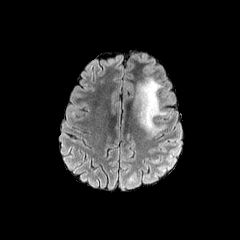
FLAIR MR image.
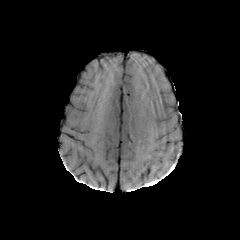
T1-weighted magnetic resonance of the same slice.
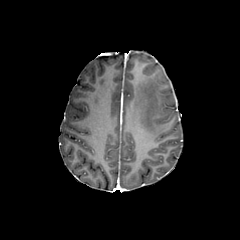
Post-contrast T1-weighted MRI.
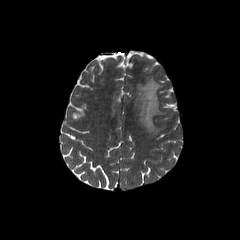
Same slice, T2-weighted MR image.
{
  "peritumoral_edema": [
    "bbox=[133, 78, 166, 138]"
  ]
}